Brain; Image width 240 mm; Slice 92/155
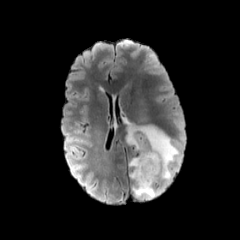
FLAIR MR.
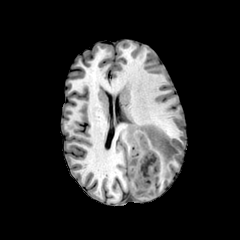
T1-weighted magnetic resonance of the same slice.
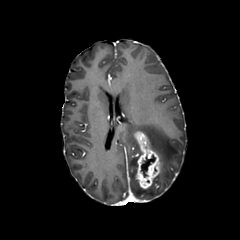
Post-contrast T1-weighted MRI of the same slice.
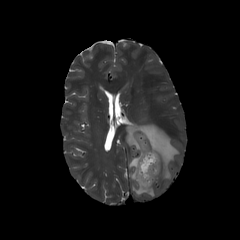
Same slice, T2-weighted MR image.
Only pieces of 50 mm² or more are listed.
necrotic tumor core: <bbox>141, 155, 155, 177</bbox> | peritumoral edema: <bbox>126, 123, 179, 179</bbox>, <bbox>129, 157, 159, 198</bbox> | enhancing tumor: <bbox>134, 131, 160, 188</bbox>